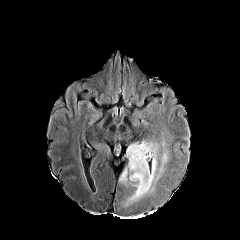
FLAIR MRI.
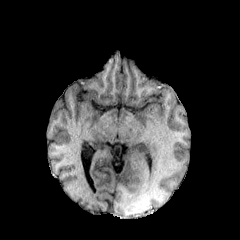
T1-weighted MR image of the same slice.
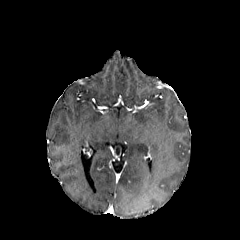
Post-contrast T1-weighted MR image.
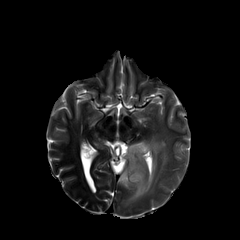
T2-weighted MR of the same slice.
Head, Axial plane
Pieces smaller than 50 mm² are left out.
peritumoral_edema:
  - [119,141,164,200]